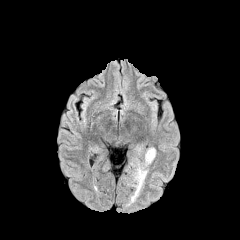
FLAIR MR image.
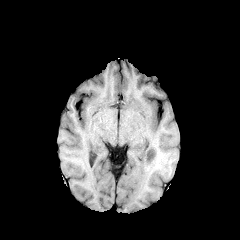
T1-weighted MRI.
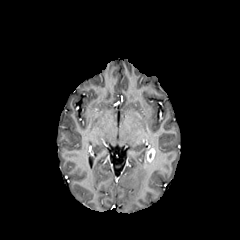
Post-contrast T1-weighted MR.
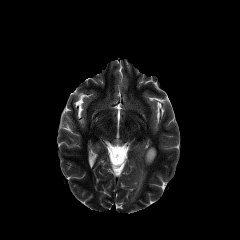
T2-weighted MRI.
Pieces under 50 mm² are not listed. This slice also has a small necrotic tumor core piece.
{
  "peritumoral_edema": [
    "<box>131,168,146,201</box>"
  ],
  "enhancing_tumor": [
    "<box>146,148,155,162</box>"
  ]
}